Axial view; Image covers 240 mm x 240 mm; Brain
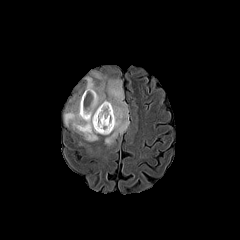
FLAIR MRI.
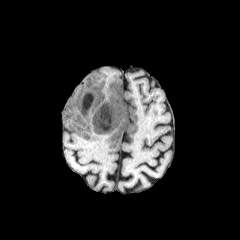
T1-weighted MR of the same slice.
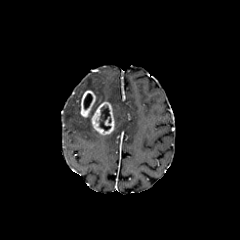
Post-contrast T1-weighted MR image.
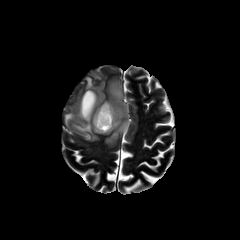
T2-weighted MR of the same slice.
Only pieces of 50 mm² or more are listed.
<segmentation>
  <enhancing_tumor>region(80, 90, 96, 117); region(91, 101, 115, 134)</enhancing_tumor>
  <peritumoral_edema>region(64, 71, 129, 145)</peritumoral_edema>
  <necrotic_tumor_core>region(99, 106, 111, 130); region(84, 93, 92, 109)</necrotic_tumor_core>
</segmentation>